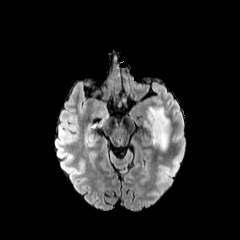
FLAIR MR.
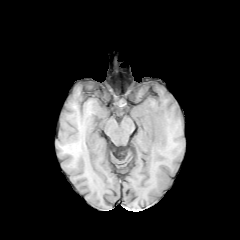
T1-weighted MR image.
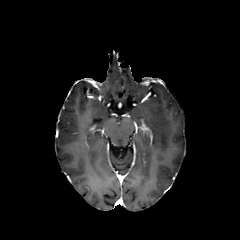
Post-contrast T1-weighted MR image.
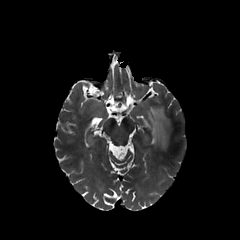
Same slice, T2-weighted MR image.
Axial slice; 240x240; Brain
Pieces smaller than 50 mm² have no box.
peritumoral_edema:
  - x1=144 y1=105 x2=169 y2=149